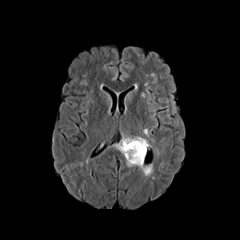
FLAIR MRI.
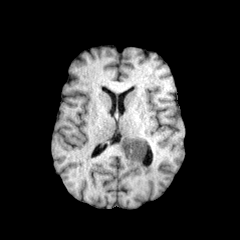
T1-weighted MR image.
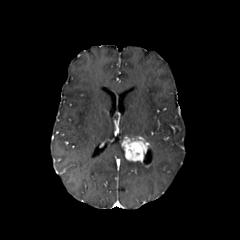
Post-contrast T1-weighted MRI.
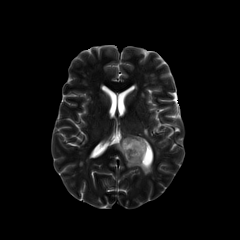
T2-weighted magnetic resonance.
240x240.
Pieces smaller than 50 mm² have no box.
<segmentation>
  <enhancing_tumor>(x1=121, y1=137, x2=148, y2=163)</enhancing_tumor>
  <peritumoral_edema>(x1=126, y1=159, x2=152, y2=175), (x1=113, y1=142, x2=124, y2=155)</peritumoral_edema>
</segmentation>